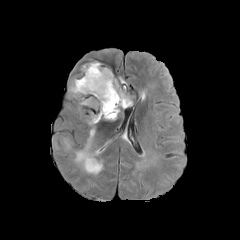
FLAIR magnetic resonance.
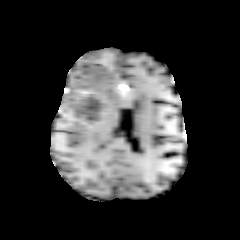
Same slice, T1-weighted magnetic resonance.
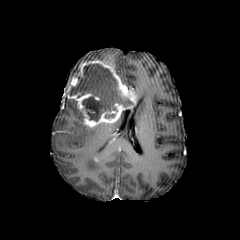
Post-contrast T1-weighted MRI.
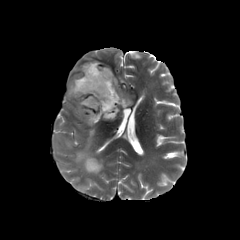
T2-weighted MR.
240x240; Axial slice
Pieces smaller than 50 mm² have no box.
enhancing tumor = 67, 60, 137, 127
necrotic tumor core = 69, 64, 132, 121; 87, 160, 95, 168
peritumoral edema = 73, 127, 103, 173; 63, 137, 71, 149